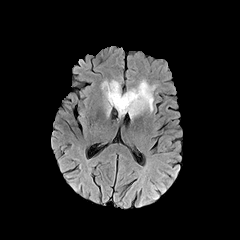
FLAIR magnetic resonance.
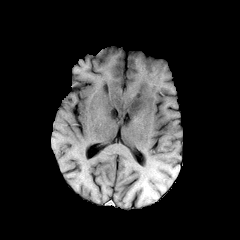
T1-weighted MR image.
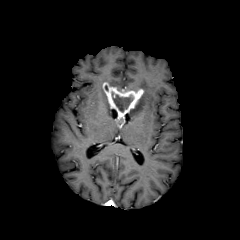
Post-contrast T1-weighted MRI of the same slice.
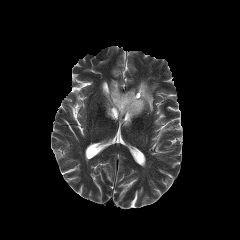
T2-weighted magnetic resonance of the same slice.
240x240
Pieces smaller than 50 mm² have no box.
necrotic_tumor_core:
  - 113,95,132,111
enhancing_tumor:
  - 102,82,144,119
peritumoral_edema:
  - 107,80,128,91
  - 101,83,111,116
  - 129,80,156,118